FLAIR magnetic resonance.
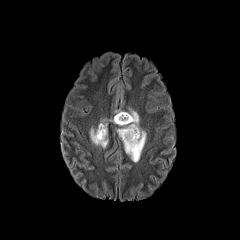
T1-weighted magnetic resonance.
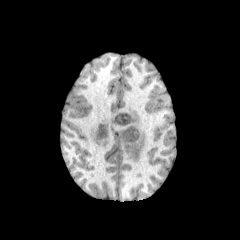
Post-contrast T1-weighted magnetic resonance.
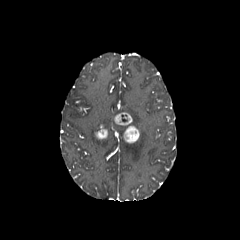
T2-weighted MRI.
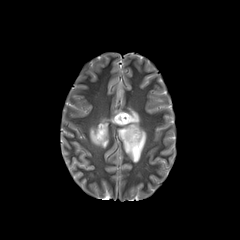
Brain. 240x240. Axial slice.
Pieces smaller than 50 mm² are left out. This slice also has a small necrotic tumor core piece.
Annotated regions:
- peritumoral edema: box=[89, 119, 113, 148]; box=[117, 107, 146, 162]
- enhancing tumor: box=[122, 125, 139, 143]; box=[95, 125, 108, 139]; box=[114, 112, 132, 125]